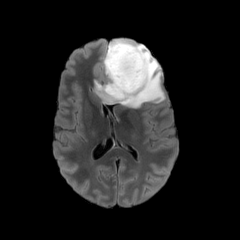
FLAIR MR image.
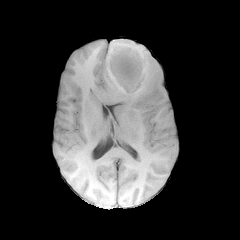
T1-weighted MRI.
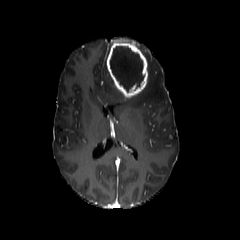
Post-contrast T1-weighted MR.
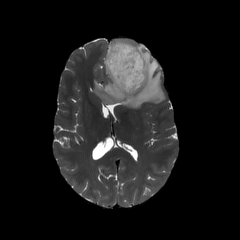
Same slice, T2-weighted MR image.
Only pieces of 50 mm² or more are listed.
enhancing tumor: box(106, 39, 148, 98) | necrotic tumor core: box(110, 46, 144, 91) | peritumoral edema: box(92, 41, 165, 108)